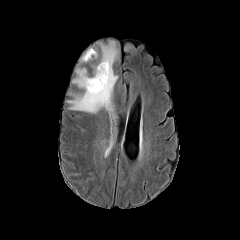
FLAIR MRI.
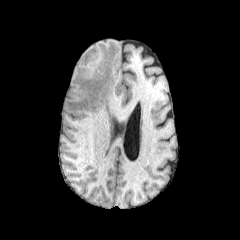
T1-weighted MRI.
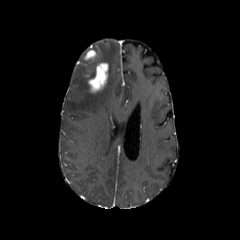
Post-contrast T1-weighted magnetic resonance.
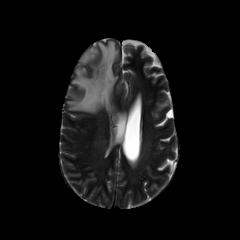
T2-weighted MRI.
Axial view
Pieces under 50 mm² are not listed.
enhancing tumor: 83:50:96:60, 88:62:108:92 | peritumoral edema: 81:50:97:62, 67:41:117:113